Brain; Axial plane; Slice 62/155
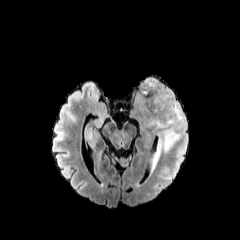
FLAIR MRI.
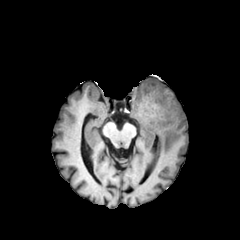
T1-weighted MR image.
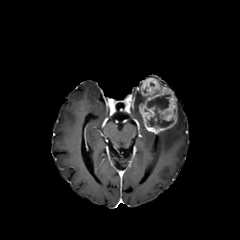
Post-contrast T1-weighted magnetic resonance.
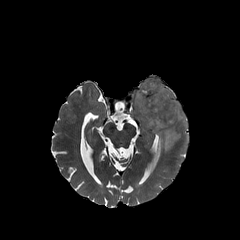
T2-weighted MR image.
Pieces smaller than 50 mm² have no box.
<segmentation>
  <peritumoral_edema>left=135, top=92, right=146, bottom=108; left=155, top=102, right=186, bottom=161</peritumoral_edema>
  <enhancing_tumor>left=139, top=78, right=177, bottom=133</enhancing_tumor>
  <necrotic_tumor_core>left=147, top=94, right=173, bottom=127</necrotic_tumor_core>
</segmentation>